Image width 240 mm. Axial slice.
FLAIR MR.
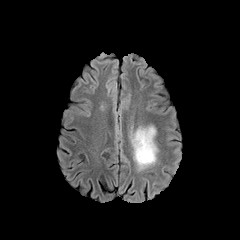
T1-weighted MR image.
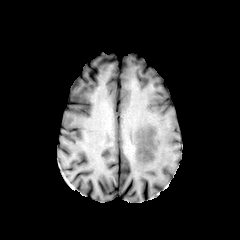
Post-contrast T1-weighted MRI.
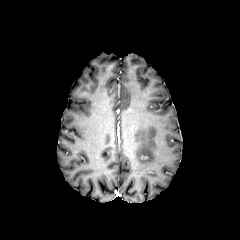
T2-weighted MR image.
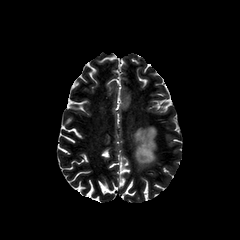
peritumoral edema = left=132, top=126, right=156, bottom=169